FLAIR magnetic resonance.
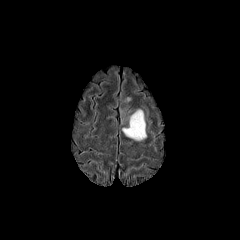
T1-weighted MR.
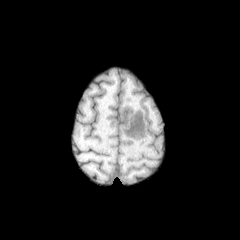
Post-contrast T1-weighted magnetic resonance.
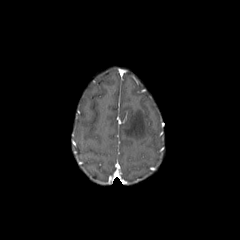
T2-weighted MRI.
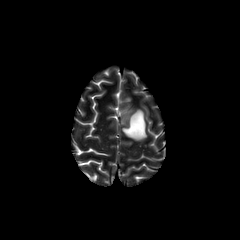
Brain; Axial slice
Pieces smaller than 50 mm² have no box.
peritumoral edema: l=122, t=109, r=146, b=140